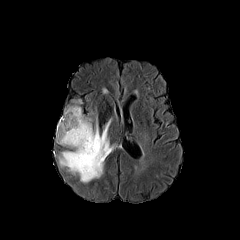
FLAIR MR.
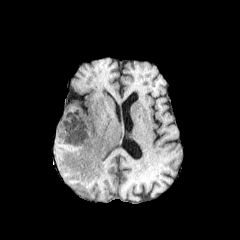
T1-weighted MR image.
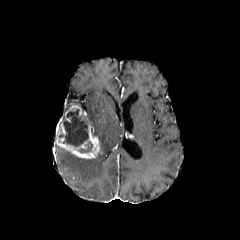
Post-contrast T1-weighted magnetic resonance.
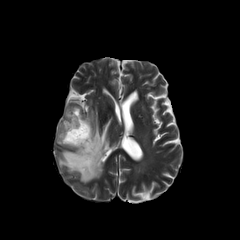
Same slice, T2-weighted MR image.
Image size 240x240
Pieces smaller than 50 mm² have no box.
enhancing tumor: {"x1": 55, "y1": 116, "x2": 100, "y2": 158}, {"x1": 65, "y1": 104, "x2": 84, "y2": 121} | peritumoral edema: {"x1": 58, "y1": 115, "x2": 113, "y2": 182} | necrotic tumor core: {"x1": 59, "y1": 109, "x2": 90, "y2": 146}, {"x1": 80, "y1": 142, "x2": 92, "y2": 152}